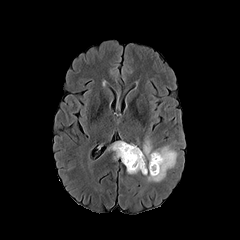
FLAIR MR.
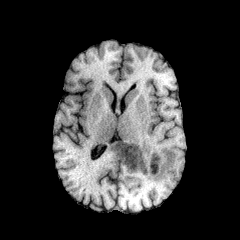
Same slice, T1-weighted MRI.
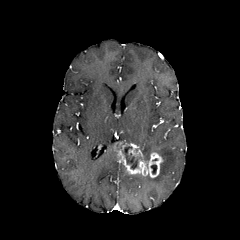
Post-contrast T1-weighted MRI.
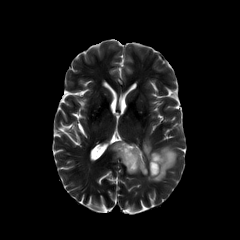
T2-weighted MR.
Axial plane. 240x240. Head.
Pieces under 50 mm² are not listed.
The largest necrotic tumor core region is at (122, 146, 137, 169). The enhancing tumor is bounded by (113, 142, 163, 177). The largest peritumoral edema region lies within (142, 139, 177, 181).